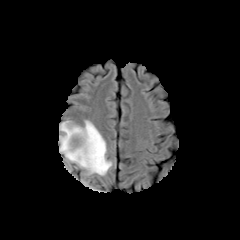
FLAIR magnetic resonance.
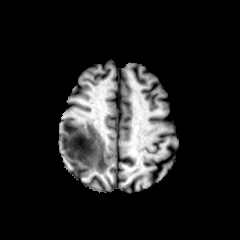
T1-weighted magnetic resonance.
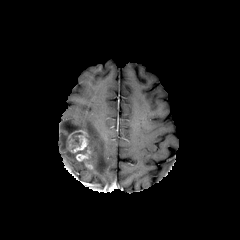
Same slice, post-contrast T1-weighted MR.
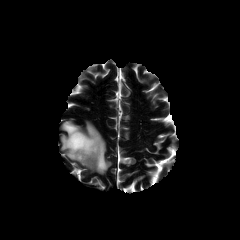
T2-weighted MR image.
Brain.
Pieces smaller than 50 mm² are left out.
The largest necrotic tumor core region is located at bbox(71, 132, 82, 145). The enhancing tumor is bounded by bbox(67, 130, 92, 168). The peritumoral edema is bounded by bbox(59, 120, 112, 175).